240x240
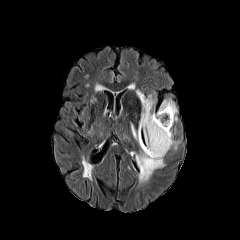
FLAIR MR image.
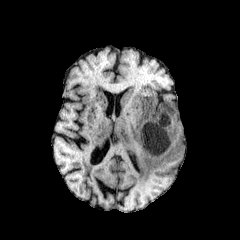
T1-weighted magnetic resonance of the same slice.
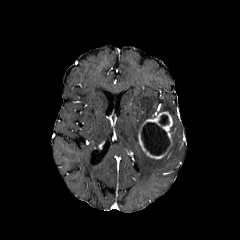
Same slice, post-contrast T1-weighted magnetic resonance.
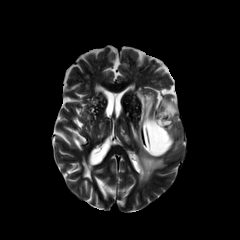
T2-weighted magnetic resonance.
peritumoral edema — {"x1": 131, "y1": 124, "x2": 138, "y2": 142}, {"x1": 137, "y1": 91, "x2": 154, "y2": 131}, {"x1": 171, "y1": 126, "x2": 178, "y2": 149}, {"x1": 136, "y1": 149, "x2": 164, "y2": 183}, {"x1": 157, "y1": 100, "x2": 177, "y2": 120}
enhancing tumor — {"x1": 138, "y1": 111, "x2": 173, "y2": 159}
necrotic tumor core — {"x1": 141, "y1": 122, "x2": 169, "y2": 155}, {"x1": 159, "y1": 115, "x2": 168, "y2": 125}